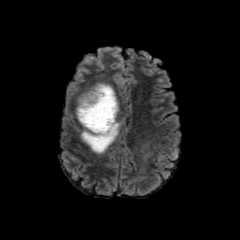
FLAIR MR.
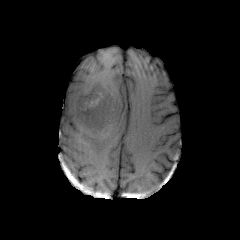
T1-weighted MR.
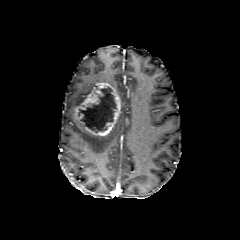
Post-contrast T1-weighted MR.
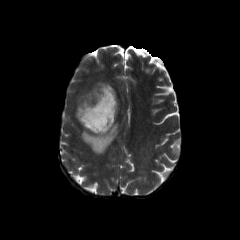
T2-weighted MRI.
Brain
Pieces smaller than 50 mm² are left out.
The enhancing tumor lies within <bbox>75, 82, 120, 137</bbox>. The necrotic tumor core appears at <bbox>78, 87, 116, 132</bbox>. The 2 largest peritumoral edema regions appear at <bbox>80, 120, 121, 154</bbox>, <bbox>72, 84, 96, 109</bbox>.